Image width 240 mm
FLAIR MRI.
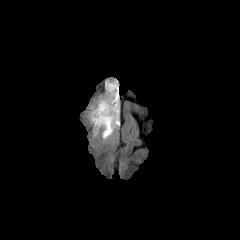
T1-weighted MR.
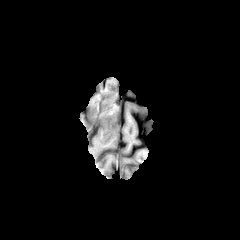
Post-contrast T1-weighted magnetic resonance.
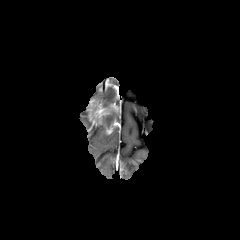
T2-weighted magnetic resonance.
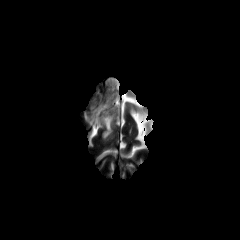
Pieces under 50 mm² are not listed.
• necrotic tumor core: bbox(103, 110, 117, 128); bbox(99, 86, 117, 107)
• enhancing tumor: bbox(88, 81, 120, 134)
• peritumoral edema: bbox(102, 129, 113, 140)